Image width 240 mm | Slice index 65 | Axial view | Head
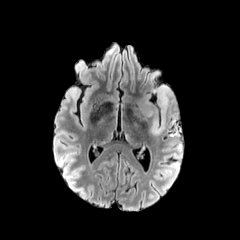
FLAIR MR image.
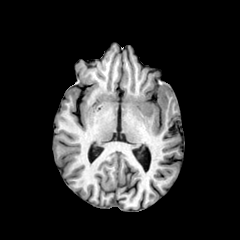
T1-weighted MR.
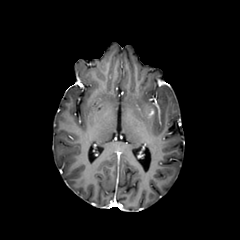
Post-contrast T1-weighted MR of the same slice.
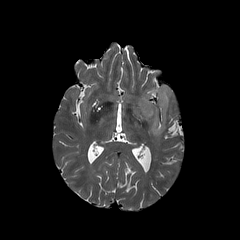
T2-weighted MR.
2 peritumoral edema regions are located at box=[142, 96, 162, 134]; box=[151, 85, 171, 123]. The enhancing tumor is located at box=[147, 108, 153, 116].